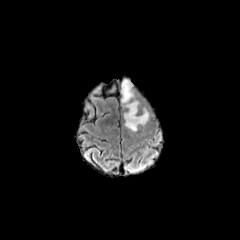
FLAIR magnetic resonance.
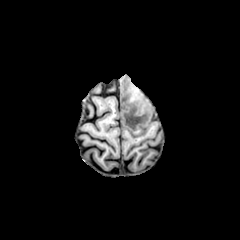
T1-weighted magnetic resonance.
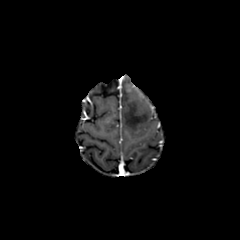
Post-contrast T1-weighted MR.
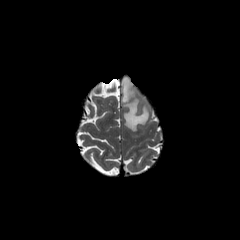
T2-weighted MRI.
240x240 px
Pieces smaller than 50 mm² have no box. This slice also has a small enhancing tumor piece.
The largest peritumoral edema region is bounded by [121,78,149,131].